FLAIR MRI.
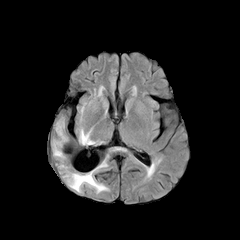
T1-weighted MR.
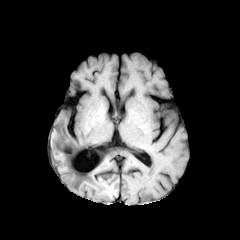
Post-contrast T1-weighted magnetic resonance.
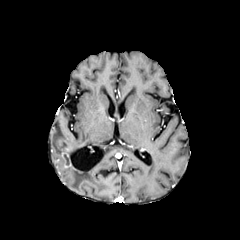
T2-weighted MRI.
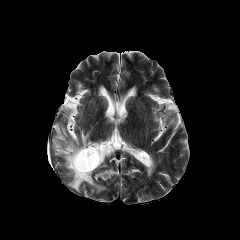
Axial view
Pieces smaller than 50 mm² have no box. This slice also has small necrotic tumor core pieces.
peritumoral edema: {"x1": 80, "y1": 129, "x2": 95, "y2": 144}, {"x1": 70, "y1": 160, "x2": 106, "y2": 192}, {"x1": 52, "y1": 122, "x2": 66, "y2": 157}
enhancing tumor: {"x1": 64, "y1": 154, "x2": 71, "y2": 167}